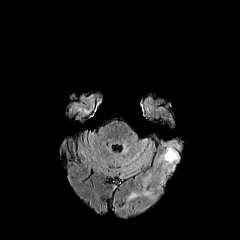
FLAIR MR image.
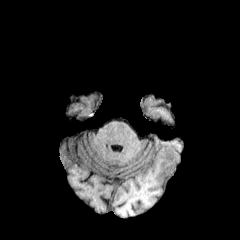
T1-weighted MRI.
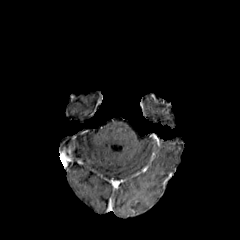
Same slice, post-contrast T1-weighted MRI.
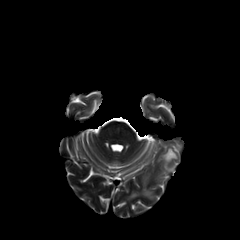
T2-weighted MR.
Head
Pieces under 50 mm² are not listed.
The largest peritumoral edema region is located at [163,148,178,164].